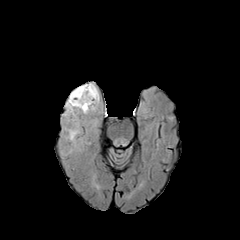
FLAIR MRI.
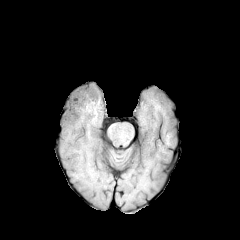
Same slice, T1-weighted magnetic resonance.
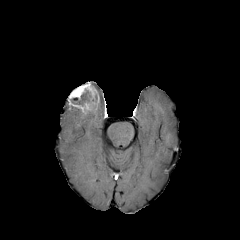
Same slice, post-contrast T1-weighted magnetic resonance.
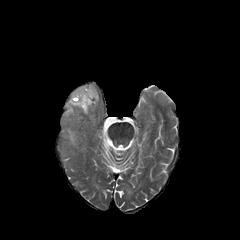
Same slice, T2-weighted magnetic resonance.
Axial view. Head.
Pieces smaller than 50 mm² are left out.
{"enhancing_tumor": ["68, 82, 99, 113"], "necrotic_tumor_core": ["72, 91, 90, 104"], "peritumoral_edema": ["69, 130, 76, 141", "64, 102, 75, 116"]}